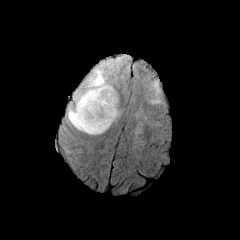
FLAIR MR image.
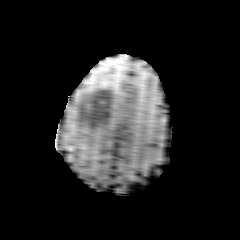
T1-weighted magnetic resonance.
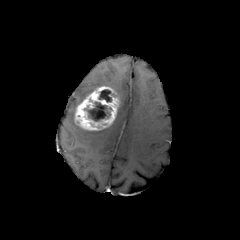
Post-contrast T1-weighted MR image of the same slice.
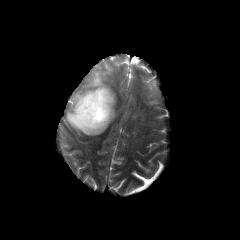
T2-weighted MRI.
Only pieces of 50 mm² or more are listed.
The enhancing tumor is at (x1=74, y1=86, x2=118, y2=130). The largest peritumoral edema region is bounded by (x1=66, y1=68, x2=113, y2=134). 2 necrotic tumor core regions appear at (x1=99, y1=90, x2=110, y2=101), (x1=89, y1=103, x2=105, y2=120).